Head | Axial slice | Slice 100 of 155
FLAIR MR image.
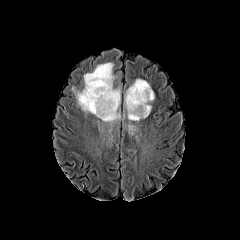
T1-weighted MR.
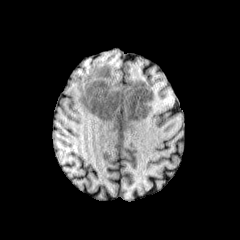
Post-contrast T1-weighted MR.
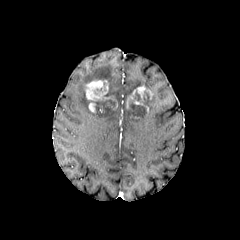
T2-weighted magnetic resonance.
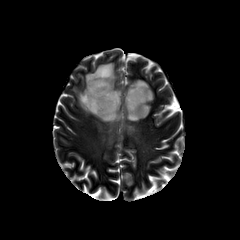
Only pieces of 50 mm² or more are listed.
enhancing tumor = x1=85 y1=80 x2=110 y2=100, x1=88 y1=102 x2=95 y2=112, x1=126 y1=85 x2=153 y2=108
necrotic tumor core = x1=128 y1=90 x2=149 y2=116, x1=88 y1=91 x2=117 y2=110
peritumoral edema = x1=73 y1=63 x2=120 y2=132, x1=124 y1=79 x2=154 y2=121, x1=128 y1=124 x2=135 y2=133